Image width 240 mm, 1.00 mm slice spacing, Axial plane
FLAIR magnetic resonance.
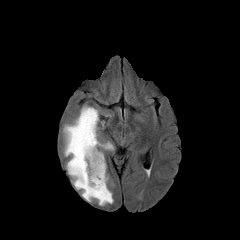
T1-weighted magnetic resonance.
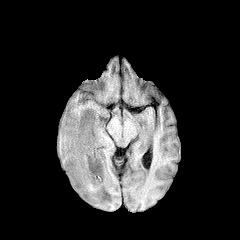
Post-contrast T1-weighted MR.
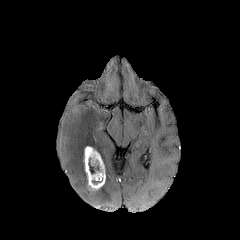
T2-weighted MR.
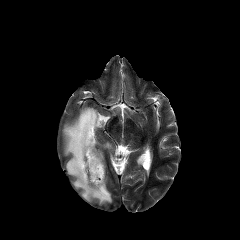
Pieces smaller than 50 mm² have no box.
peritumoral edema = l=63, t=106, r=113, b=205
enhancing tumor = l=83, t=146, r=105, b=190
necrotic tumor core = l=92, t=175, r=104, b=185